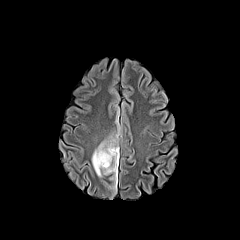
FLAIR MR image.
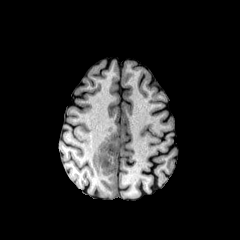
Same slice, T1-weighted MR image.
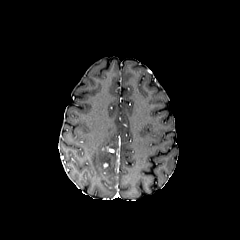
Same slice, post-contrast T1-weighted MR image.
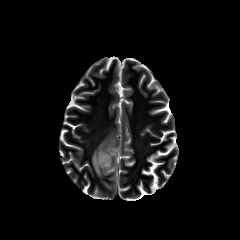
T2-weighted MR.
Brain; Axial slice
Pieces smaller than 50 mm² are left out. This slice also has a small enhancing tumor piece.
peritumoral_edema:
  - rect(92, 134, 119, 183)